Image width 240 mm. Axial slice.
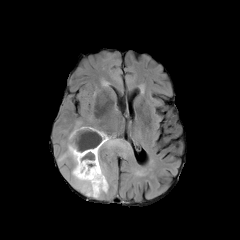
FLAIR MR image.
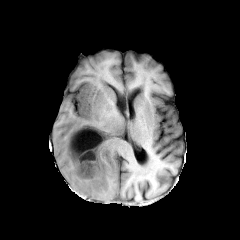
T1-weighted MR image of the same slice.
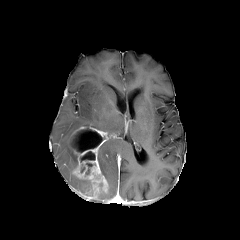
Post-contrast T1-weighted MRI.
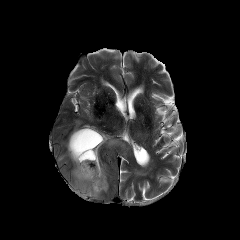
T2-weighted MRI.
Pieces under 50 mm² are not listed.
<segmentation>
  <enhancing_tumor>70:127:110:197</enhancing_tumor>
  <peritumoral_edema>98:153:106:179, 102:137:124:148, 72:174:89:196, 59:132:77:169</peritumoral_edema>
  <necrotic_tumor_core>80:151:95:161, 72:127:102:152</necrotic_tumor_core>
</segmentation>